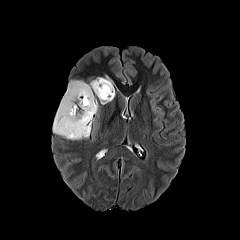
FLAIR MR image.
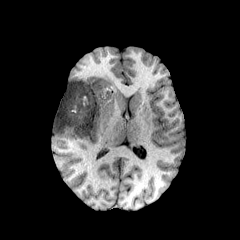
Same slice, T1-weighted magnetic resonance.
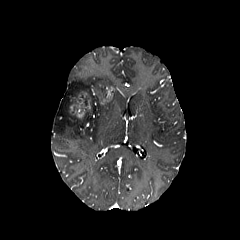
Same slice, post-contrast T1-weighted MR image.
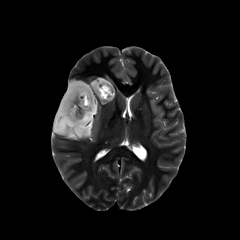
T2-weighted MR image.
240x240 px, Brain
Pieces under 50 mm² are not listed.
enhancing_tumor:
  - <box>100,86,113,103</box>
  - <box>69,91,91,118</box>
peritumoral_edema:
  - <box>53,75,113,139</box>
necrotic_tumor_core:
  - <box>94,83,107,100</box>
  - <box>71,91,95,133</box>